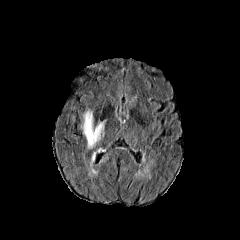
FLAIR MR.
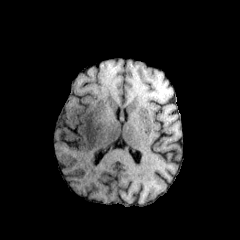
T1-weighted magnetic resonance of the same slice.
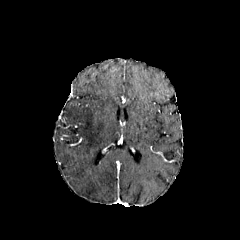
Post-contrast T1-weighted MR image.
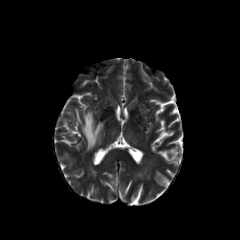
T2-weighted MRI.
240x240 px.
peritumoral edema: bounding box 81,110,104,148; 88,148,102,177